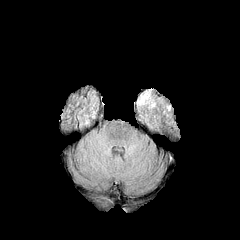
FLAIR MR.
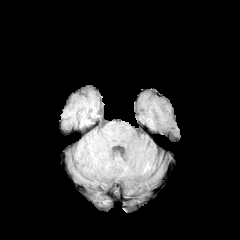
T1-weighted MR of the same slice.
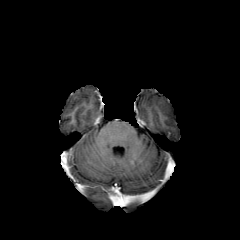
Post-contrast T1-weighted MR image of the same slice.
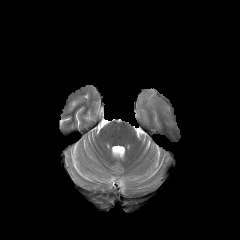
T2-weighted MR image.
240x240 px.
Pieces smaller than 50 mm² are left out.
Findings:
* peritumoral edema: 140, 91, 155, 106